FLAIR MRI.
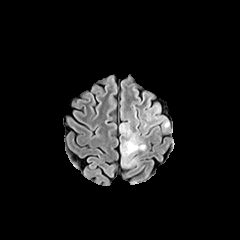
T1-weighted MR image.
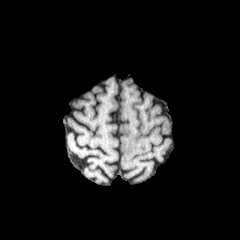
Post-contrast T1-weighted MR image.
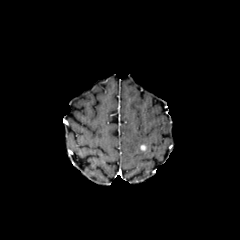
T2-weighted MR image.
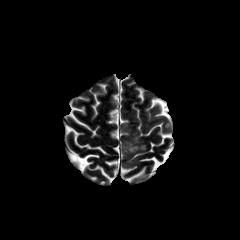
Axial slice.
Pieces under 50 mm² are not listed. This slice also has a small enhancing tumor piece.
peritumoral edema at l=119, t=123, r=141, b=167